Head; Slice 135/155
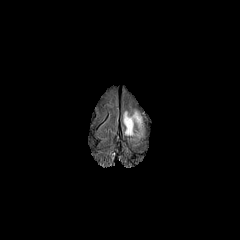
FLAIR magnetic resonance.
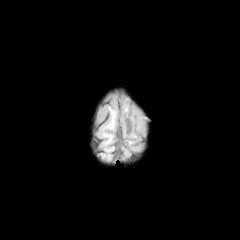
Same slice, T1-weighted MR.
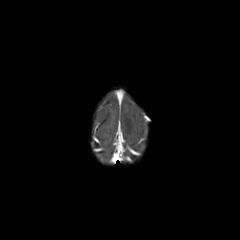
Post-contrast T1-weighted MR.
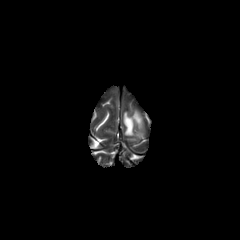
T2-weighted MRI.
peritumoral edema at region(123, 112, 141, 135)